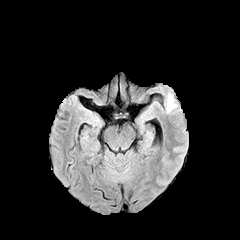
FLAIR MRI.
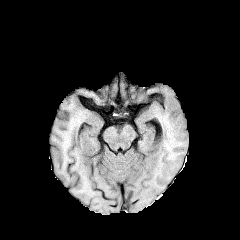
T1-weighted magnetic resonance of the same slice.
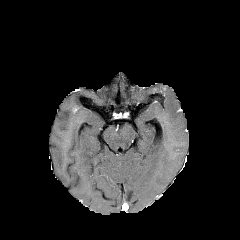
Post-contrast T1-weighted MR image.
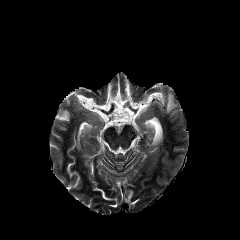
T2-weighted MR image of the same slice.
240x240 px | Brain
peritumoral edema at rect(166, 92, 177, 113)